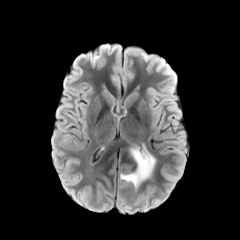
FLAIR MR.
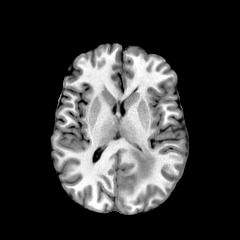
Same slice, T1-weighted MR image.
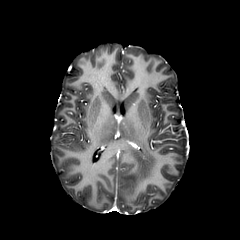
Post-contrast T1-weighted MR image of the same slice.
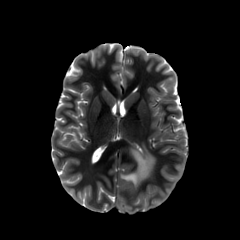
T2-weighted MR.
240x240 px
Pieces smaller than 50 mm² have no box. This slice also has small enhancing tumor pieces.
necrotic tumor core = <bbox>123, 163, 135, 169</bbox>
peritumoral edema = <bbox>120, 145, 155, 188</bbox>